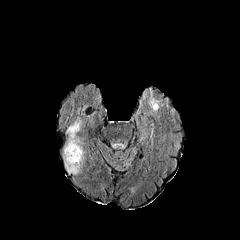
FLAIR magnetic resonance.
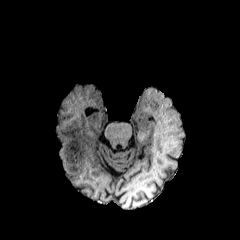
T1-weighted magnetic resonance of the same slice.
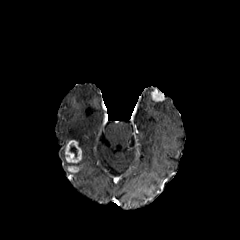
Post-contrast T1-weighted magnetic resonance of the same slice.
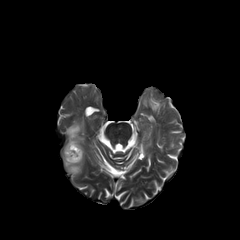
Same slice, T2-weighted MRI.
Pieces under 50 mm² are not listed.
The peritumoral edema is located at [x1=63, y1=122, x2=84, y2=174]. The largest enhancing tumor region appears at [x1=66, y1=140, x2=80, y2=162]. The necrotic tumor core appears at [x1=68, y1=142, x2=78, y2=159].